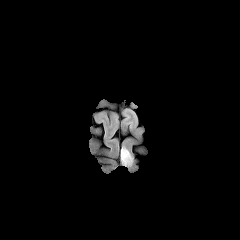
FLAIR MR image.
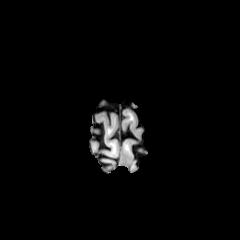
Same slice, T1-weighted magnetic resonance.
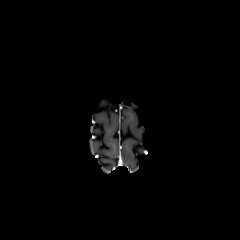
Post-contrast T1-weighted magnetic resonance.
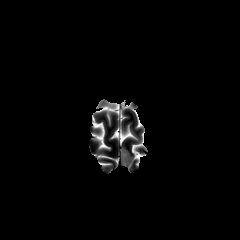
T2-weighted MR image.
Brain
The peritumoral edema appears at bbox=[121, 145, 133, 167].